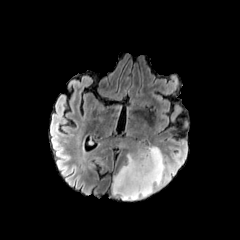
FLAIR MRI.
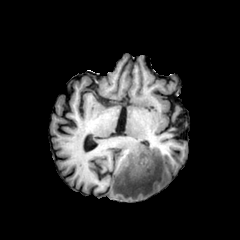
T1-weighted MR of the same slice.
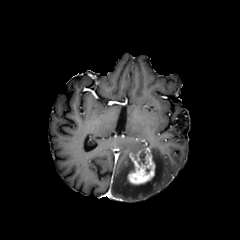
Post-contrast T1-weighted MR.
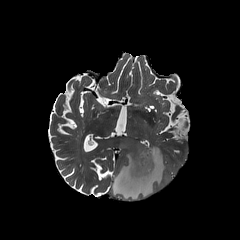
T2-weighted MRI.
Head
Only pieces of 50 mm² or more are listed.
enhancing_tumor:
  - bbox=[127, 147, 155, 185]
necrotic_tumor_core:
  - bbox=[137, 151, 146, 166]
peritumoral_edema:
  - bbox=[111, 146, 168, 200]